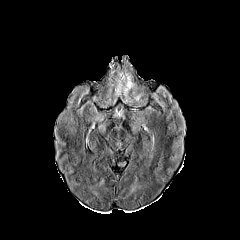
FLAIR magnetic resonance.
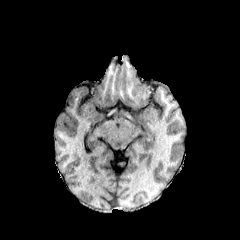
T1-weighted MRI.
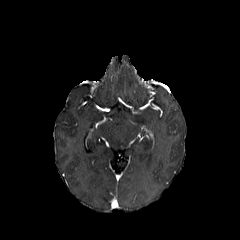
Post-contrast T1-weighted MR.
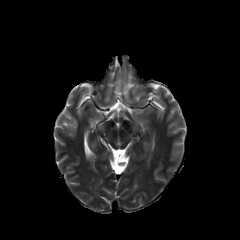
Same slice, T2-weighted MR image.
Axial plane. Head.
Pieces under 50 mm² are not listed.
<segmentation>
  <peritumoral_edema>[117,73,132,93]</peritumoral_edema>
</segmentation>